Slice 40 of 155 | Axial slice | Image size 240x240
FLAIR MR image.
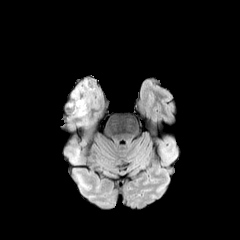
T1-weighted MR.
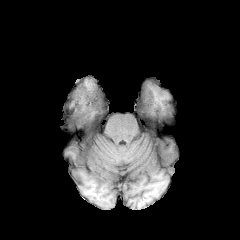
Post-contrast T1-weighted MR image.
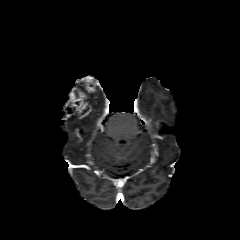
T2-weighted MRI.
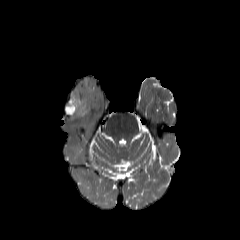
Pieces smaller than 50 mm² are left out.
The enhancing tumor is bounded by 64,79,94,117. The largest necrotic tumor core region is bounded by 65,106,76,114.